Slice index 63. Brain.
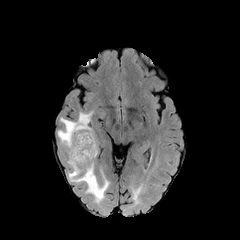
FLAIR magnetic resonance.
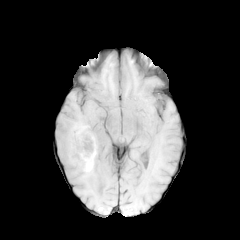
T1-weighted MR image of the same slice.
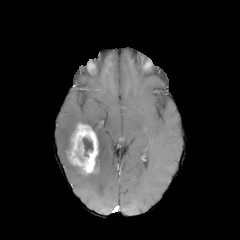
Post-contrast T1-weighted MRI.
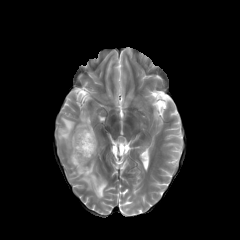
T2-weighted MR image of the same slice.
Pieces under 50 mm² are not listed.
The enhancing tumor appears at left=67, top=123, right=98, bottom=174. The 2 largest peritumoral edema regions are bounded by left=67, top=159, right=109, bottom=202; left=57, top=111, right=93, bottom=151. The necrotic tumor core is located at left=82, top=138, right=93, bottom=156.